Axial view; Head; Slice 46/155
FLAIR MR.
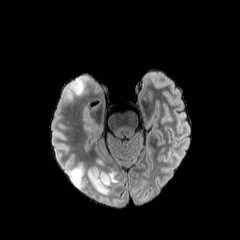
T1-weighted MRI.
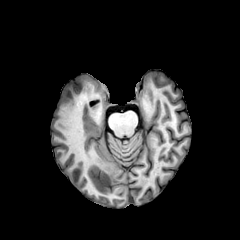
Post-contrast T1-weighted MR image.
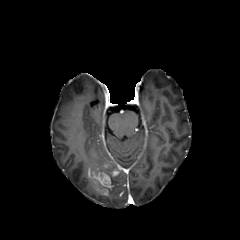
T2-weighted MRI.
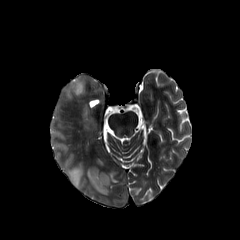
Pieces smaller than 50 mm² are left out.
Segmented structures:
- peritumoral edema: l=89, t=165, r=119, b=196; l=68, t=166, r=85, b=188; l=63, t=76, r=87, b=99
- enhancing tumor: l=87, t=168, r=112, b=194